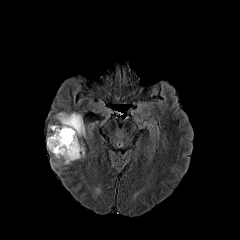
FLAIR MR.
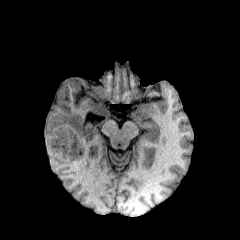
T1-weighted MR image of the same slice.
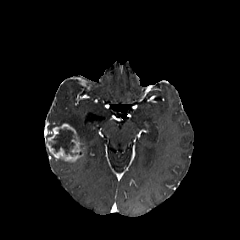
Post-contrast T1-weighted MR of the same slice.
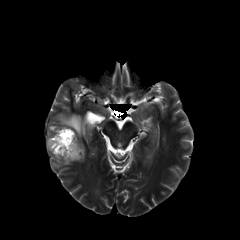
T2-weighted magnetic resonance.
Head
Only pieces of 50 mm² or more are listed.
The largest necrotic tumor core region is located at x1=51 y1=129 x2=74 y2=155. The 2 largest peritumoral edema regions are located at x1=51 y1=159 x2=71 y2=168, x1=54 y1=112 x2=85 y2=142. The enhancing tumor lies within x1=46 y1=123 x2=84 y2=162.